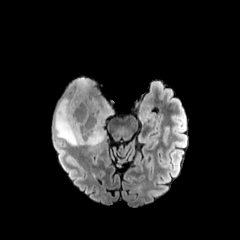
FLAIR MR image.
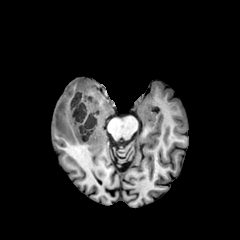
T1-weighted MRI.
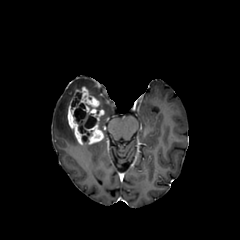
Post-contrast T1-weighted magnetic resonance of the same slice.
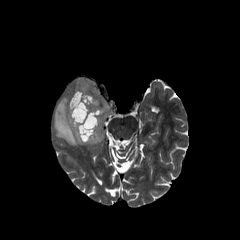
T2-weighted MR image.
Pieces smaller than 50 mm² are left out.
The 3 largest necrotic tumor core regions appear at <bbox>74, 103, 85, 121</bbox>, <bbox>84, 116, 96, 128</bbox>, <bbox>71, 93, 81, 106</bbox>. The 2 largest peritumoral edema regions appear at <bbox>74, 78, 113, 146</bbox>, <bbox>54, 97, 79, 145</bbox>. The enhancing tumor is at <bbox>67, 86, 104, 144</bbox>.